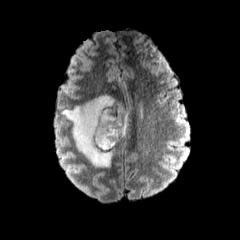
FLAIR MR.
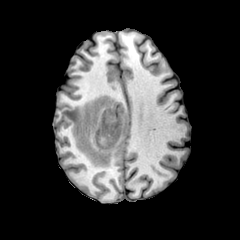
T1-weighted MRI.
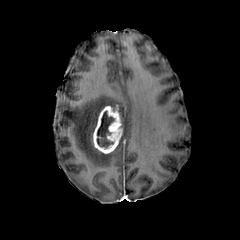
Same slice, post-contrast T1-weighted magnetic resonance.
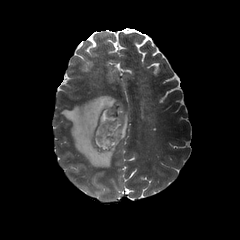
T2-weighted MRI.
Brain, Image size 240x240
<segmentation>
  <enhancing_tumor>[x1=92, y1=105, x2=123, y2=154]</enhancing_tumor>
  <peritumoral_edema>[x1=62, y1=95, x2=127, y2=167]</peritumoral_edema>
  <necrotic_tumor_core>[x1=97, y1=110, x2=115, y2=149]</necrotic_tumor_core>
</segmentation>